FLAIR MRI.
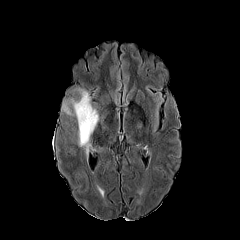
T1-weighted MR.
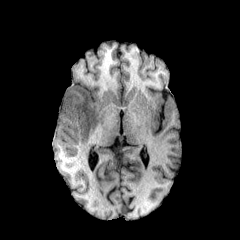
Post-contrast T1-weighted MR image.
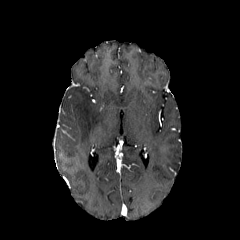
T2-weighted magnetic resonance.
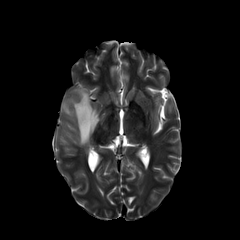
Head | 240x240 px | Axial plane
Segmented structures:
- peritumoral edema: rect(62, 89, 99, 153)